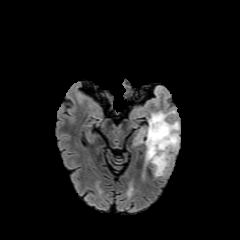
FLAIR MR image.
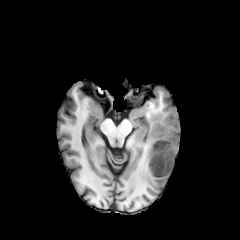
Same slice, T1-weighted magnetic resonance.
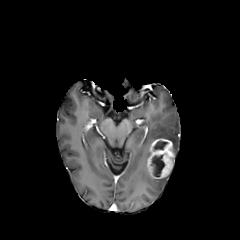
Same slice, post-contrast T1-weighted MR.
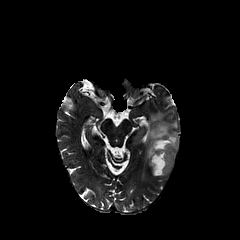
T2-weighted MR image.
Axial slice
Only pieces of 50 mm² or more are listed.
• enhancing tumor: (left=147, top=138, right=174, bottom=178)
• necrotic tumor core: (left=151, top=155, right=164, bottom=177), (left=154, top=141, right=167, bottom=149)
• peritumoral edema: (left=145, top=110, right=179, bottom=164)